FLAIR MRI.
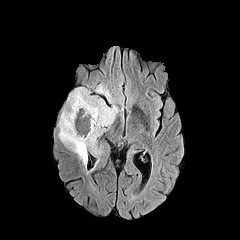
T1-weighted magnetic resonance.
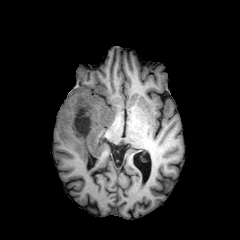
Post-contrast T1-weighted magnetic resonance.
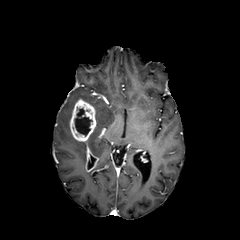
T2-weighted MR.
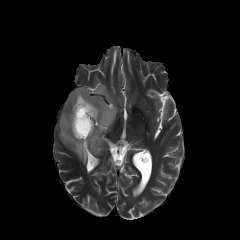
Axial plane; 240x240; Head
The necrotic tumor core is located at [x1=75, y1=108, x2=91, y2=135]. 2 enhancing tumor regions are located at [x1=86, y1=145, x2=97, y2=171], [x1=69, y1=98, x2=96, y2=141]. 2 peritumoral edema regions are bounded by [x1=95, y1=84, x2=113, y2=103], [x1=58, y1=87, x2=118, y2=164].